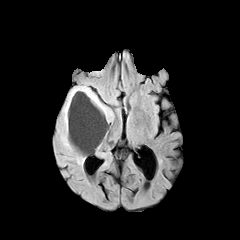
FLAIR MRI.
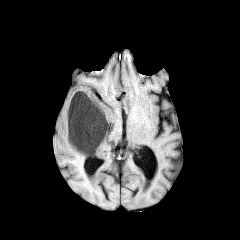
T1-weighted MR image of the same slice.
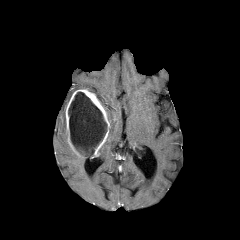
Post-contrast T1-weighted MR of the same slice.
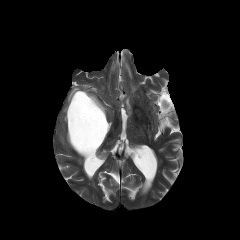
Same slice, T2-weighted MR image.
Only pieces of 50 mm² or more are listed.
The enhancing tumor appears at left=65, top=89, right=110, bottom=154. The 3 largest peritumoral edema regions are located at left=102, top=104, right=113, bottom=124; left=75, top=153, right=93, bottom=164; left=60, top=84, right=91, bottom=150. The necrotic tumor core is at left=68, top=92, right=107, bottom=154.